FLAIR MR image.
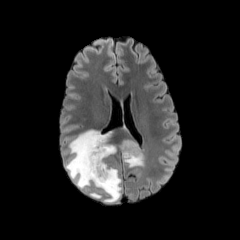
T1-weighted MRI.
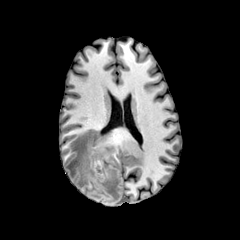
Post-contrast T1-weighted MRI.
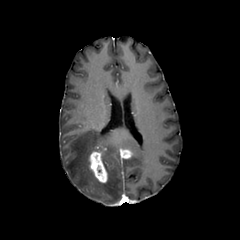
T2-weighted magnetic resonance.
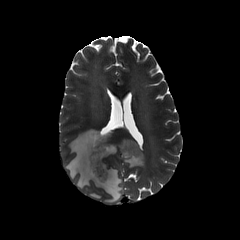
Brain
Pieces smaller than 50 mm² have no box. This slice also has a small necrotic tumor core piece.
Annotated regions:
• peritumoral edema: <box>121,140,144,167</box>, <box>87,191,102,198</box>, <box>65,129,122,203</box>
• enhancing tumor: <box>88,146,107,182</box>, <box>120,148,133,159</box>